FLAIR MRI.
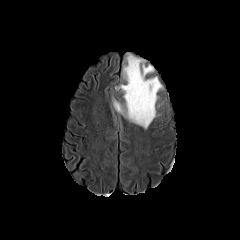
T1-weighted magnetic resonance.
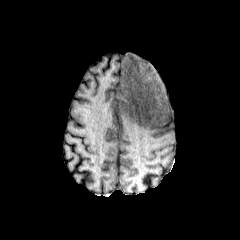
Post-contrast T1-weighted MR image.
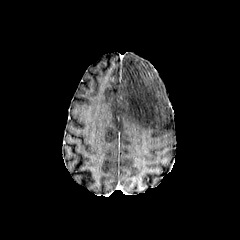
T2-weighted magnetic resonance.
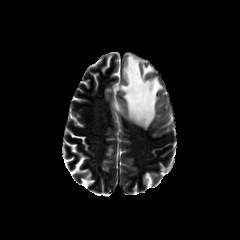
Axial slice
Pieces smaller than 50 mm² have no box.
Segmented structures:
• peritumoral edema: 112:53:162:129